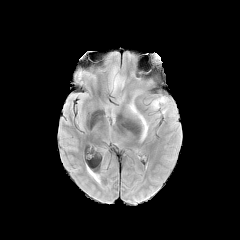
FLAIR MR.
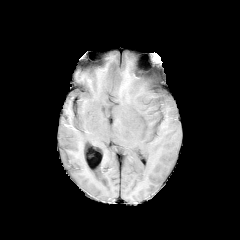
T1-weighted MRI of the same slice.
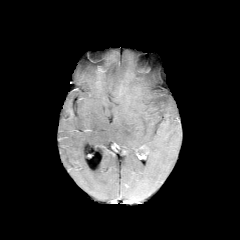
Post-contrast T1-weighted MR.
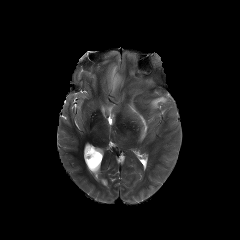
T2-weighted MR.
Axial view | 240x240
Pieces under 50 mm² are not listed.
The 2 largest peritumoral edema regions appear at rect(151, 96, 167, 108); rect(110, 48, 152, 140).